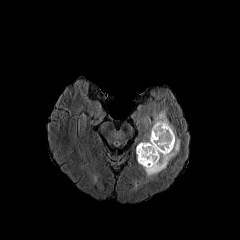
FLAIR MR.
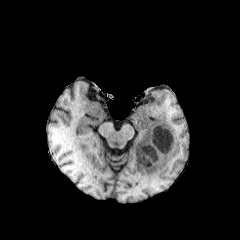
T1-weighted MRI.
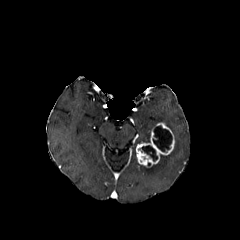
Post-contrast T1-weighted magnetic resonance.
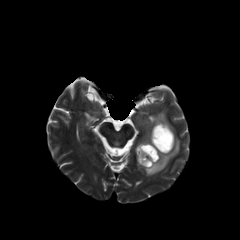
T2-weighted MRI of the same slice.
240x240 px
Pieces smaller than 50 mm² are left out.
{"necrotic_tumor_core": ["(138, 145, 157, 161)", "(153, 125, 172, 152)"], "peritumoral_edema": ["(141, 109, 180, 178)"], "enhancing_tumor": ["(136, 122, 174, 167)"]}